Image size 240x240.
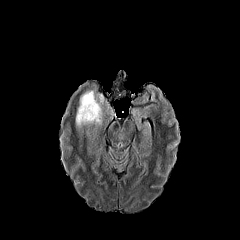
FLAIR MR image.
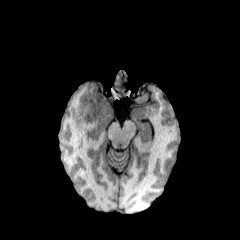
T1-weighted magnetic resonance of the same slice.
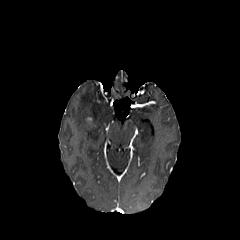
Post-contrast T1-weighted MR.
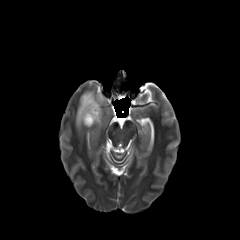
Same slice, T2-weighted MR image.
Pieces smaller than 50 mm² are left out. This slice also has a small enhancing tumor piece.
The largest peritumoral edema region appears at rect(76, 91, 102, 127).